240x240 px; Axial view; Slice index 70; Brain
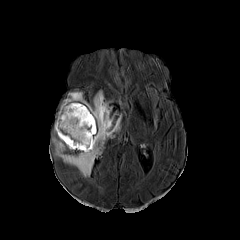
FLAIR MR.
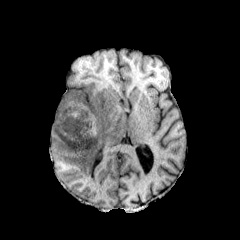
Same slice, T1-weighted MR image.
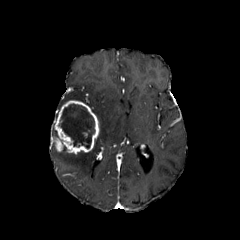
Same slice, post-contrast T1-weighted MRI.
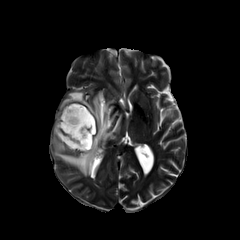
T2-weighted MR image.
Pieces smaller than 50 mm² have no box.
The largest necrotic tumor core region is bounded by 59 104 95 148. The 2 largest peritumoral edema regions are bounded by 54 90 121 176, 60 91 91 107. The largest enhancing tumor region is bounded by 53 100 99 152.